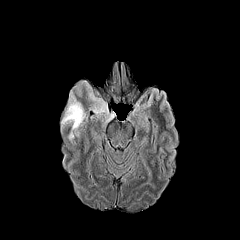
FLAIR magnetic resonance.
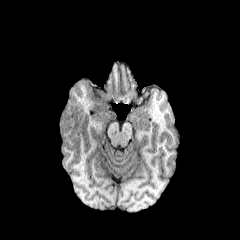
Same slice, T1-weighted MR image.
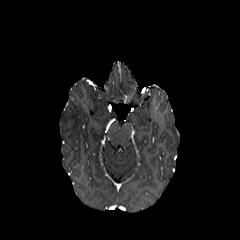
Post-contrast T1-weighted MR image.
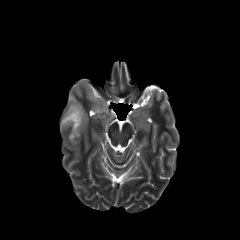
Same slice, T2-weighted magnetic resonance.
2 peritumoral edema regions are located at [x1=89, y1=94, x2=110, y2=119], [x1=61, y1=93, x2=86, y2=140].